Axial slice. Head.
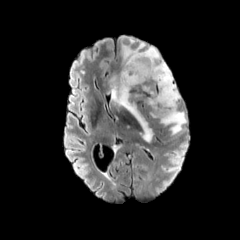
FLAIR magnetic resonance.
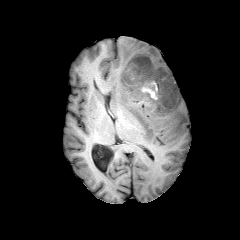
Same slice, T1-weighted MRI.
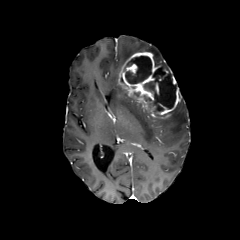
Post-contrast T1-weighted MRI.
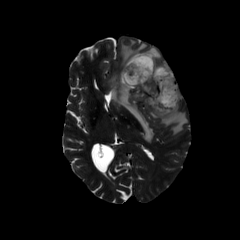
Same slice, T2-weighted MR image.
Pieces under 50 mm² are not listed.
The 3 largest peritumoral edema regions are bounded by l=153, t=101, r=187, b=135; l=121, t=36, r=168, b=67; l=108, t=74, r=153, b=142. The largest enhancing tumor region is at l=118, t=51, r=181, b=118. The 2 largest necrotic tumor core regions appear at l=143, t=67, r=175, b=111; l=125, t=56, r=151, b=83.